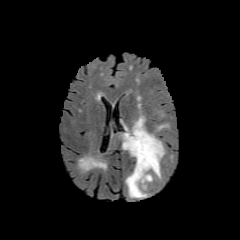
FLAIR MRI.
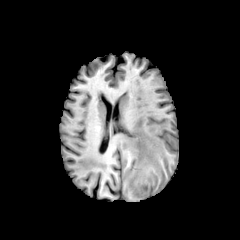
T1-weighted MR of the same slice.
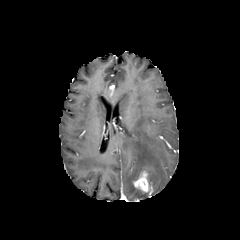
Post-contrast T1-weighted MR image.
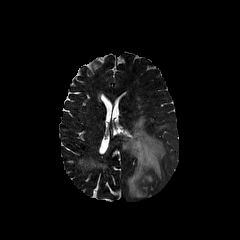
Same slice, T2-weighted magnetic resonance.
Brain
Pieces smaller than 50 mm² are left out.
The enhancing tumor is at <box>133,171,151,192</box>. The largest peritumoral edema region is located at <box>122,116,165,198</box>.